Slice index 125. 240x240 px. Axial view.
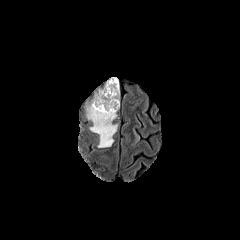
FLAIR MR.
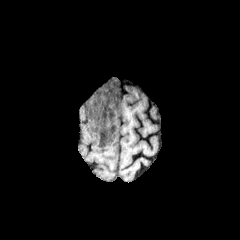
T1-weighted MRI of the same slice.
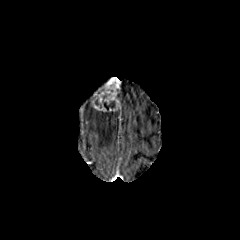
Same slice, post-contrast T1-weighted MR.
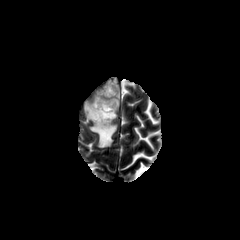
T2-weighted MRI.
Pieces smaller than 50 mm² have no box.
The peritumoral edema appears at (left=87, top=105, right=116, bottom=147). The enhancing tumor is bounded by (left=91, top=77, right=120, bottom=111). The largest necrotic tumor core region is at (left=99, top=100, right=115, bottom=114).